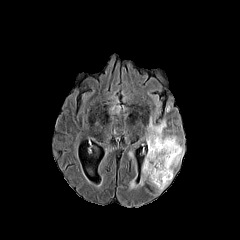
FLAIR MR image.
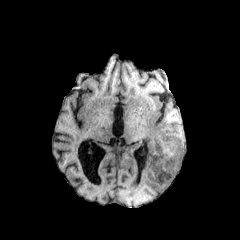
T1-weighted MRI.
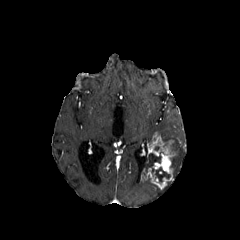
Post-contrast T1-weighted MRI.
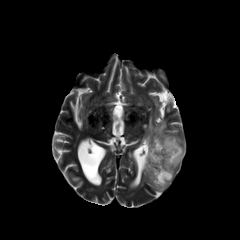
T2-weighted magnetic resonance.
Axial plane | Head
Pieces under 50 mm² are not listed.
necrotic tumor core at (145, 153, 160, 172), (152, 167, 170, 182)
peritumoral edema at (145, 117, 184, 169)
enhancing tumor at (141, 132, 176, 189)